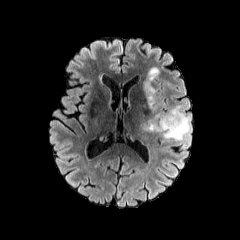
FLAIR MR.
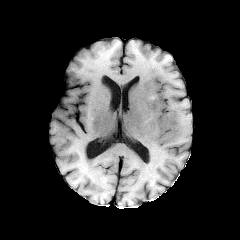
T1-weighted MR.
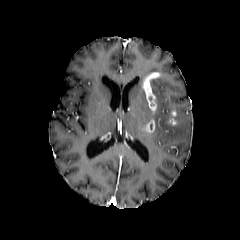
Post-contrast T1-weighted MRI.
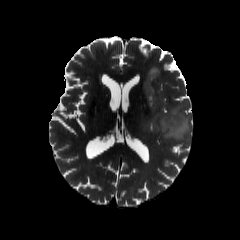
T2-weighted MR image.
Head; 240x240 px; Axial slice
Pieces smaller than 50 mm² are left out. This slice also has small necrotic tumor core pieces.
peritumoral edema — box(142, 87, 191, 143); box(146, 67, 159, 75)
enhancing tumor — box(142, 72, 160, 113); box(144, 119, 155, 133); box(168, 110, 176, 125)